FLAIR MR image.
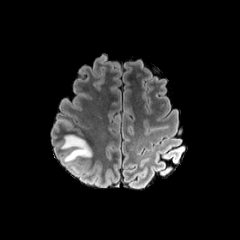
T1-weighted MR.
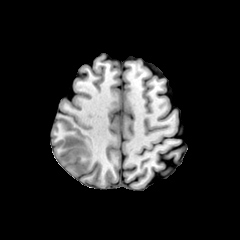
Post-contrast T1-weighted MR.
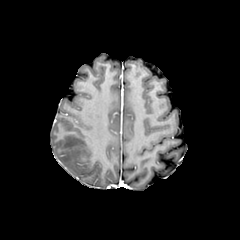
T2-weighted MR image.
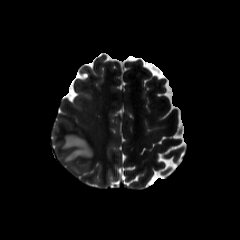
Axial plane | Head
2 peritumoral edema regions appear at bbox=[61, 134, 92, 162]; bbox=[70, 166, 80, 173].